FLAIR MR.
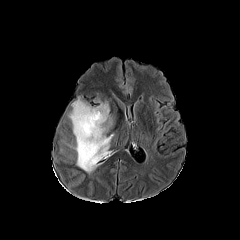
T1-weighted MR image.
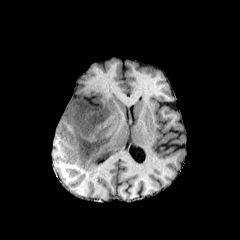
Post-contrast T1-weighted MRI.
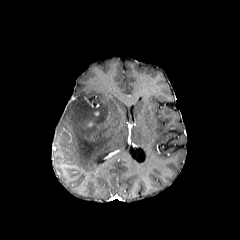
T2-weighted magnetic resonance.
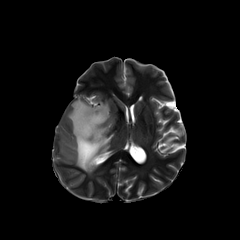
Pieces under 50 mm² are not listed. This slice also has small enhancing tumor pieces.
The peritumoral edema is at [x1=68, y1=97, x2=114, y2=173].